Slice 85 of 155 | Image size 240x240 | Axial plane
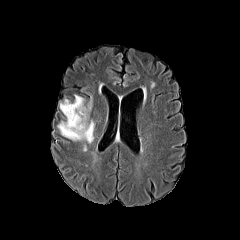
FLAIR MR.
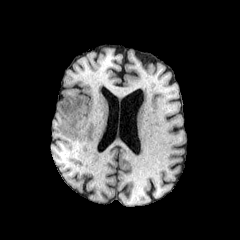
T1-weighted MRI.
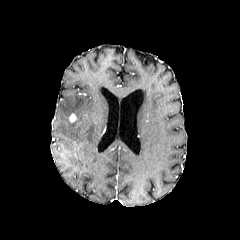
Same slice, post-contrast T1-weighted MR.
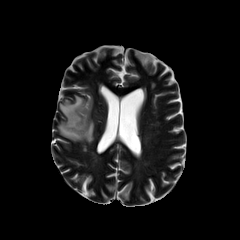
T2-weighted MR.
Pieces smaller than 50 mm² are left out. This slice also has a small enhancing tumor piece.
The largest peritumoral edema region is bounded by 57,95,94,143.